Slice 88 of 155. Image width 240 mm, 1.00 mm slice spacing. Axial plane. Head.
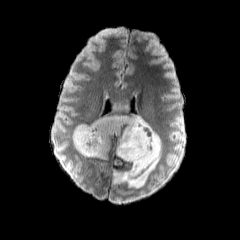
FLAIR MR image.
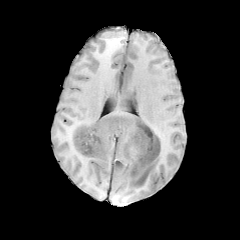
Same slice, T1-weighted MR image.
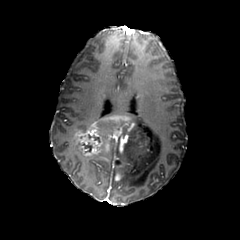
Post-contrast T1-weighted magnetic resonance.
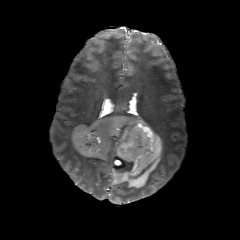
T2-weighted MR.
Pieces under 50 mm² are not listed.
The 3 largest peritumoral edema regions appear at 75,124,87,129; 100,150,110,159; 104,100,161,188. The 3 largest necrotic tumor core regions are located at 103,121,116,134; 118,121,129,141; 82,142,92,152. 2 enhancing tumor regions are bounded by 72,115,138,160; 113,168,122,180.